FLAIR MR image.
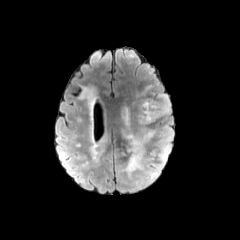
T1-weighted MR.
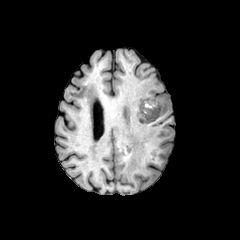
Post-contrast T1-weighted MR image.
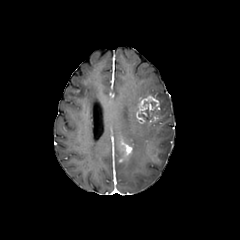
T2-weighted MR.
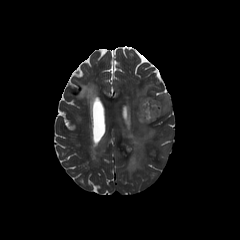
240x240 px.
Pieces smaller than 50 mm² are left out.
necrotic tumor core = box=[138, 107, 150, 121]
enhancing tumor = box=[136, 95, 160, 123]
peritumoral edema = box=[159, 94, 170, 117]; box=[149, 144, 169, 160]; box=[122, 123, 154, 176]